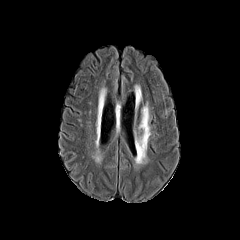
FLAIR MR.
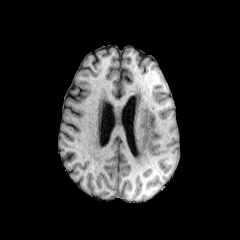
T1-weighted MR image of the same slice.
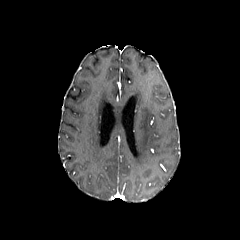
Post-contrast T1-weighted MRI.
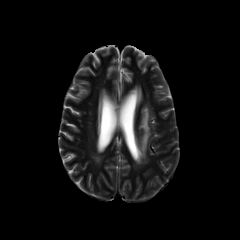
Same slice, T2-weighted MR.
Axial slice.
Annotated regions:
- peritumoral edema: (138,104,150,157)